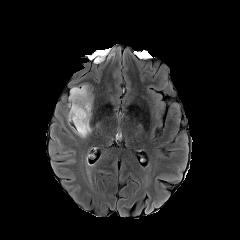
FLAIR magnetic resonance.
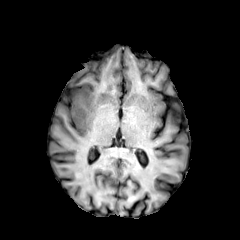
T1-weighted MR.
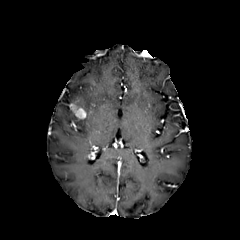
Post-contrast T1-weighted MR.
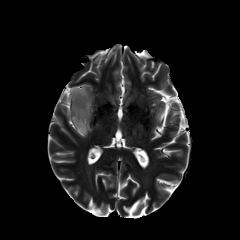
T2-weighted MRI.
Axial slice. Brain.
enhancing tumor at (x1=69, y1=101, x2=86, y2=119)
peritumoral edema at (x1=67, y1=84, x2=93, y2=137)